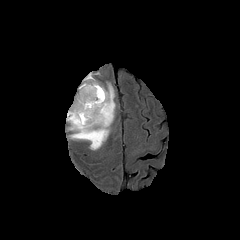
FLAIR MR image.
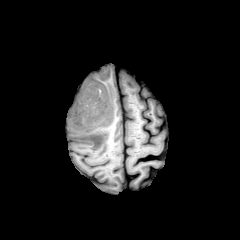
T1-weighted MRI of the same slice.
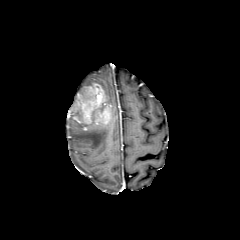
Post-contrast T1-weighted magnetic resonance.
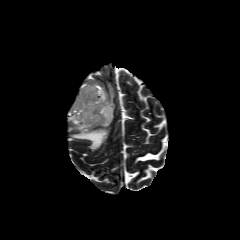
Same slice, T2-weighted MR image.
240x240 | Axial plane
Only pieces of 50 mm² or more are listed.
enhancing tumor — [67,83,112,130]
peritumoral edema — [67,84,115,150]